FLAIR magnetic resonance.
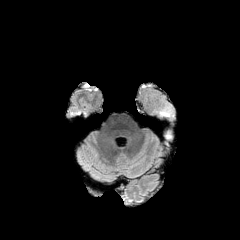
T1-weighted MR.
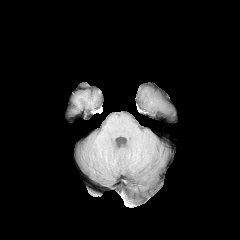
Post-contrast T1-weighted magnetic resonance.
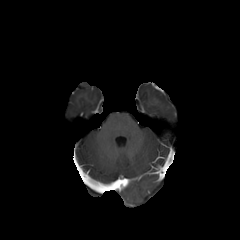
T2-weighted magnetic resonance.
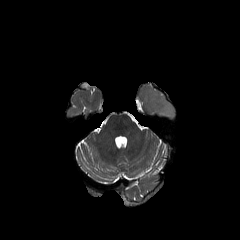
Brain
2 peritumoral edema regions are located at 149 96 173 117, 165 132 171 146.